FLAIR magnetic resonance.
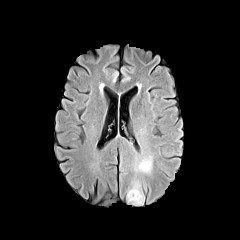
T1-weighted magnetic resonance.
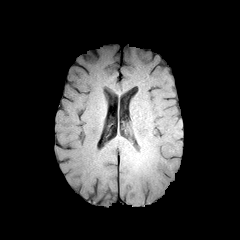
Post-contrast T1-weighted MR image.
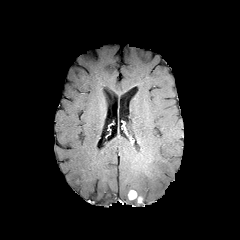
T2-weighted MRI.
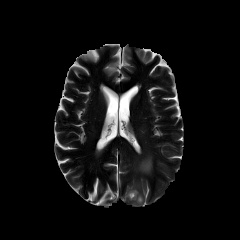
Brain | Image size 240x240
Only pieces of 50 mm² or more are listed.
Segmented structures:
• peritumoral edema: [139, 159, 151, 172], [130, 186, 144, 202], [127, 190, 142, 204]
• enhancing tumor: [128, 190, 136, 199]